FLAIR magnetic resonance.
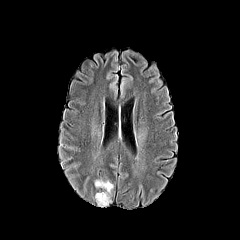
T1-weighted MR.
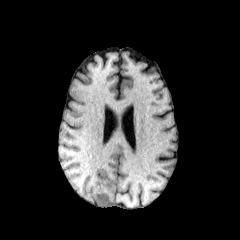
Post-contrast T1-weighted MR image.
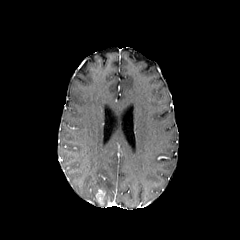
T2-weighted MR image.
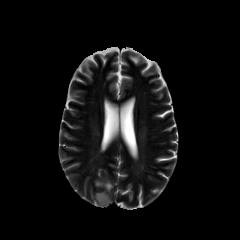
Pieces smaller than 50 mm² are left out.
peritumoral edema at l=95, t=180, r=113, b=198
enhancing tumor at l=95, t=189, r=109, b=205